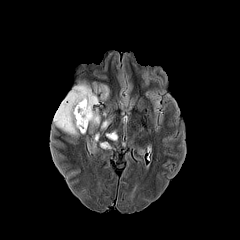
FLAIR MR image.
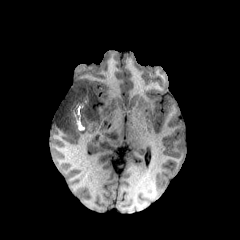
Same slice, T1-weighted MRI.
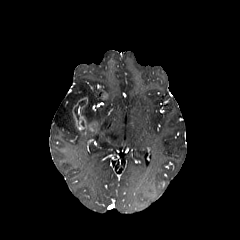
Post-contrast T1-weighted magnetic resonance.
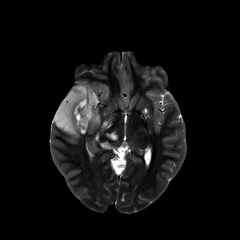
T2-weighted MR.
Axial plane. 240x240. Head.
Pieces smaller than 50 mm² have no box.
necrotic tumor core: (left=80, top=97, right=97, bottom=124), (left=74, top=100, right=86, bottom=120) | peritumoral edema: (left=93, top=109, right=100, bottom=125), (left=100, top=142, right=109, bottom=148), (left=101, top=118, right=111, bottom=129), (left=106, top=131, right=116, bottom=139), (left=53, top=83, right=97, bottom=135), (left=95, top=85, right=109, bottom=95) | enhancing tumor: (left=72, top=97, right=97, bottom=134)